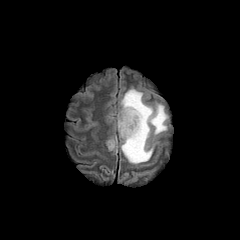
FLAIR MRI.
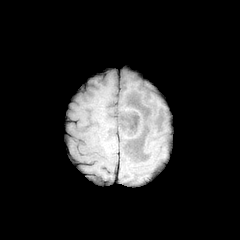
Same slice, T1-weighted MRI.
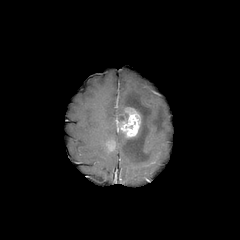
Same slice, post-contrast T1-weighted MRI.
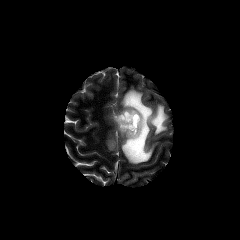
T2-weighted magnetic resonance.
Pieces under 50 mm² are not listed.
The largest peritumoral edema region appears at 117,88,167,164. 2 enhancing tumor regions are bounded by 115,107,141,137; 108,141,115,150.